FLAIR MR image.
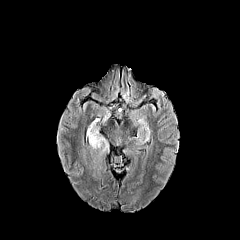
T1-weighted MRI.
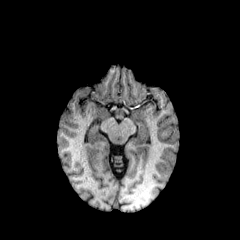
Post-contrast T1-weighted MR.
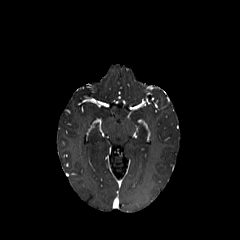
T2-weighted MR.
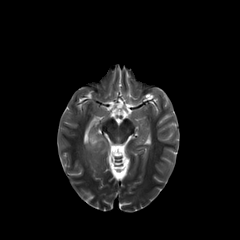
Brain.
The peritumoral edema appears at box(89, 129, 108, 153).